240x240, Axial slice, Head
FLAIR MR.
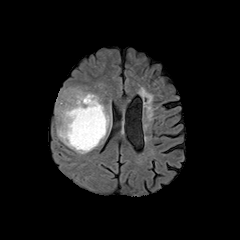
T1-weighted MR image.
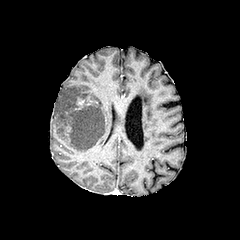
Post-contrast T1-weighted MRI.
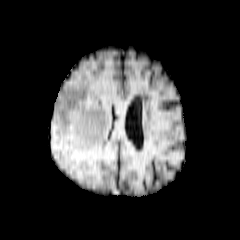
T2-weighted MRI.
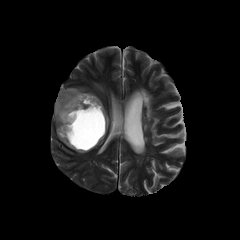
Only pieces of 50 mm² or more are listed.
• necrotic tumor core: (69,104,105,149)
• peritumoral edema: (55,87,110,154)
• enhancing tumor: (74,96,85,110), (86,93,97,108)